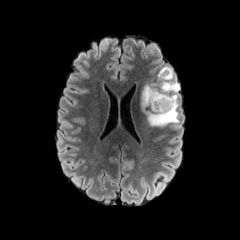
FLAIR MRI.
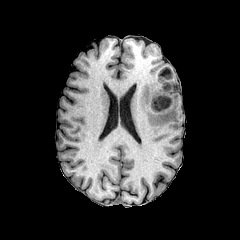
Same slice, T1-weighted MR image.
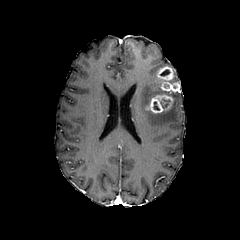
Same slice, post-contrast T1-weighted magnetic resonance.
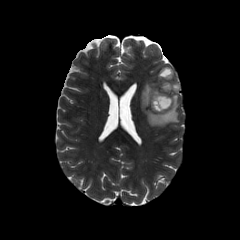
Same slice, T2-weighted magnetic resonance.
Axial plane, Brain
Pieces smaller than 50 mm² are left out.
necrotic_tumor_core:
  - 160, 69, 170, 76
enhancing_tumor:
  - 157, 66, 179, 91
  - 145, 93, 173, 115
peritumoral_edema:
  - 138, 78, 178, 127